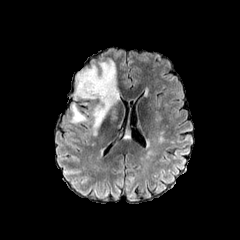
FLAIR MR.
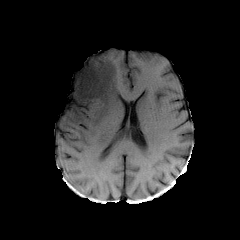
Same slice, T1-weighted magnetic resonance.
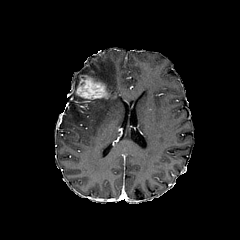
Same slice, post-contrast T1-weighted MR.
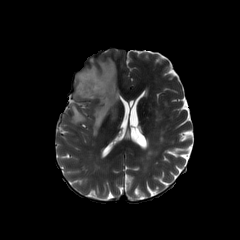
T2-weighted magnetic resonance.
240x240
peritumoral edema: rect(70, 59, 119, 135) | enhancing tumor: rect(75, 74, 116, 99)